FLAIR MR.
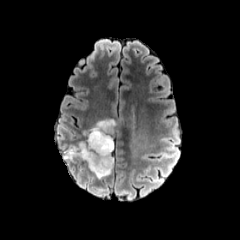
T1-weighted MR image.
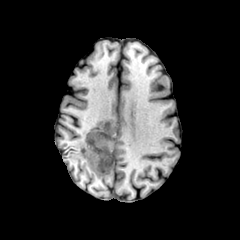
Post-contrast T1-weighted MR.
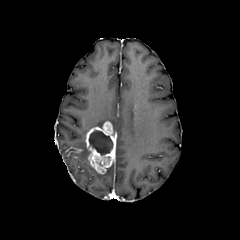
T2-weighted MR image.
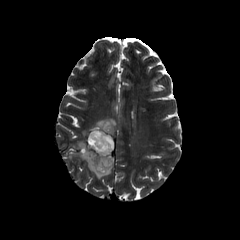
Head, Axial plane
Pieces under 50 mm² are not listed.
necrotic_tumor_core:
  - [89, 130, 113, 155]
peritumoral_edema:
  - [64, 141, 113, 178]
  - [90, 119, 116, 131]
enhancing_tumor:
  - [66, 147, 82, 156]
  - [85, 121, 115, 174]